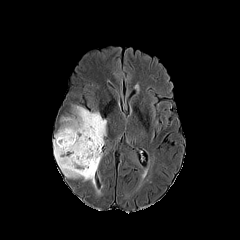
FLAIR MR image.
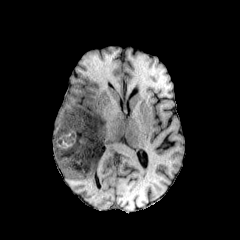
Same slice, T1-weighted MR.
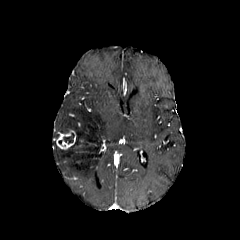
Post-contrast T1-weighted MR image of the same slice.
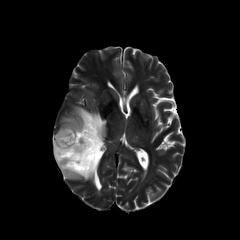
Same slice, T2-weighted MRI.
Head
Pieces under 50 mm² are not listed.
Findings:
- necrotic tumor core: 63:132:74:144, 71:130:83:146
- enhancing tumor: 56:129:76:149
- peritumoral edema: 53:106:106:185